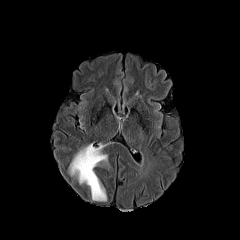
FLAIR MR image.
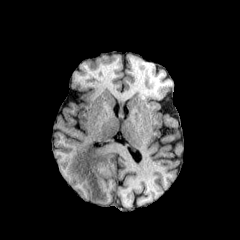
T1-weighted MRI.
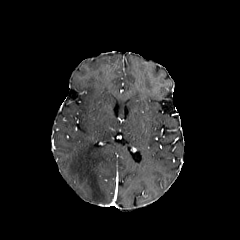
Post-contrast T1-weighted magnetic resonance.
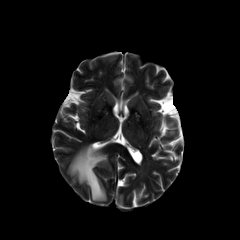
T2-weighted magnetic resonance of the same slice.
Head
<segmentation>
  <peritumoral_edema>(left=69, top=144, right=107, bottom=201)</peritumoral_edema>
</segmentation>